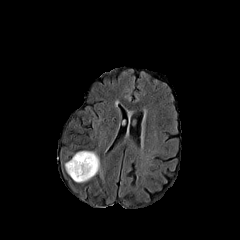
FLAIR MR.
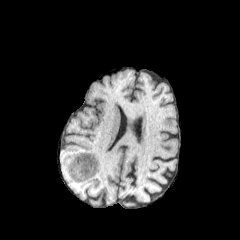
T1-weighted MR.
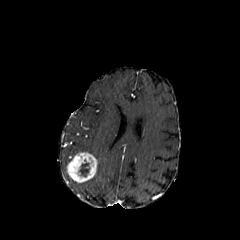
Post-contrast T1-weighted magnetic resonance of the same slice.
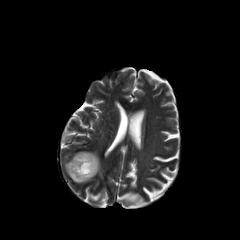
T2-weighted MRI.
240x240.
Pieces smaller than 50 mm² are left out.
The largest peritumoral edema region is bounded by 80 151 101 176. The enhancing tumor appears at 67 152 97 182. The necrotic tumor core is bounded by 79 163 89 176.